Slice index 64 | Axial view | Head
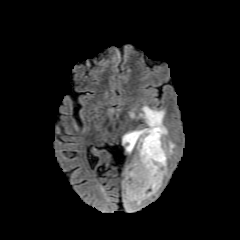
FLAIR magnetic resonance.
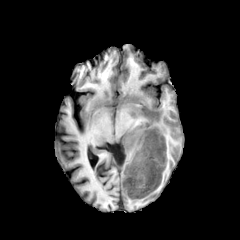
T1-weighted MR.
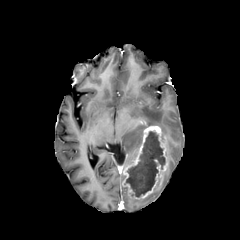
Post-contrast T1-weighted MRI of the same slice.
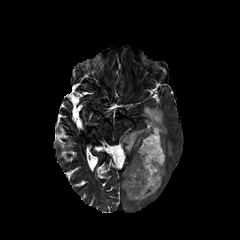
T2-weighted MRI.
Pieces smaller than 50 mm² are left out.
The 4 largest peritumoral edema regions are bounded by l=140, t=106, r=167, b=140; l=122, t=186, r=160, b=210; l=166, t=141, r=174, b=157; l=122, t=129, r=143, b=153. The enhancing tumor is bounded by l=122, t=126, r=167, b=199. The largest necrotic tumor core region is located at l=126, t=131, r=165, b=197.